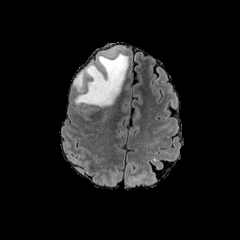
FLAIR MR image.
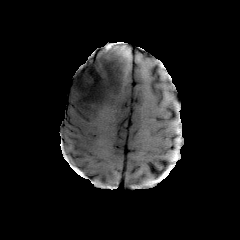
T1-weighted MRI of the same slice.
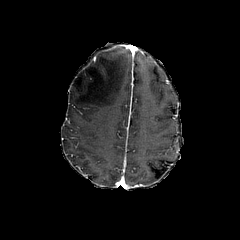
Post-contrast T1-weighted MR image.
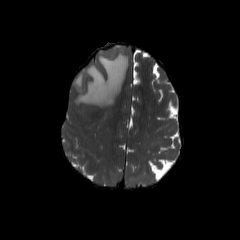
T2-weighted MR image.
Image size 240x240
The peritumoral edema lies within (x1=73, y1=47, x2=128, y2=107).